Slice 79/155. Brain.
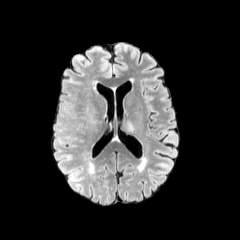
FLAIR MRI.
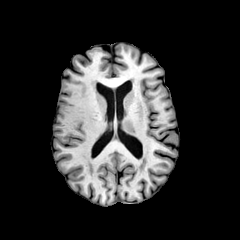
Same slice, T1-weighted MRI.
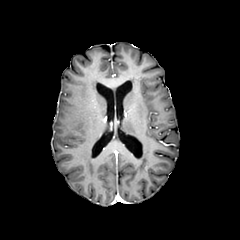
Same slice, post-contrast T1-weighted MR.
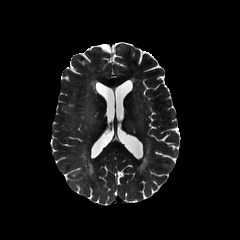
T2-weighted magnetic resonance.
peritumoral edema = left=86, top=102, right=101, bottom=124